FLAIR MR.
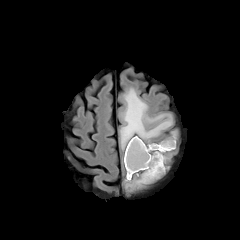
T1-weighted MR image.
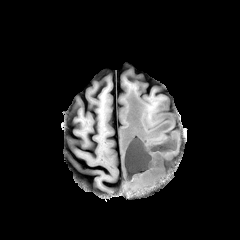
Post-contrast T1-weighted MRI.
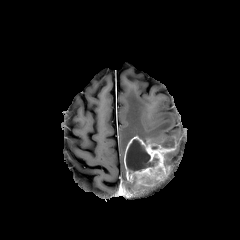
T2-weighted MRI.
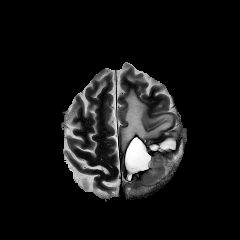
Brain. 240x240.
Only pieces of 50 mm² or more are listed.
The 3 largest peritumoral edema regions are located at (120, 89, 172, 150), (125, 176, 144, 190), (159, 132, 176, 143). The enhancing tumor is bounded by (124, 136, 176, 185). The 2 largest necrotic tumor core regions appear at (126, 139, 158, 171), (162, 142, 174, 147).